Slice 31/155; Image width 240 mm; 240x240; Axial slice
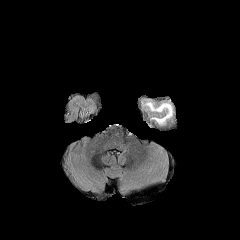
FLAIR MR.
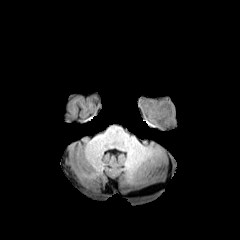
Same slice, T1-weighted MR.
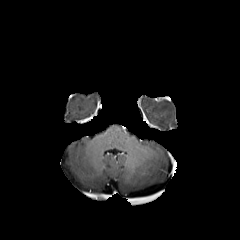
Same slice, post-contrast T1-weighted magnetic resonance.
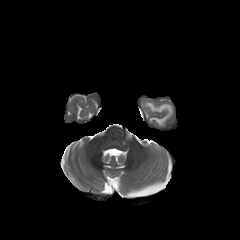
T2-weighted MR of the same slice.
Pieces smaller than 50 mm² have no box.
peritumoral edema at box=[148, 103, 171, 116]